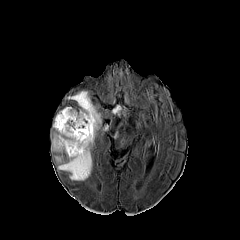
FLAIR MR.
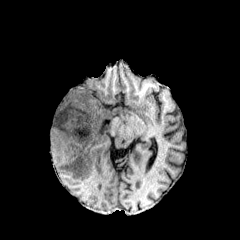
T1-weighted MR.
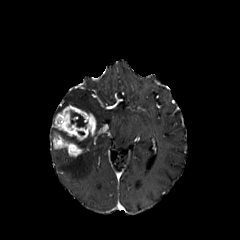
Same slice, post-contrast T1-weighted MR image.
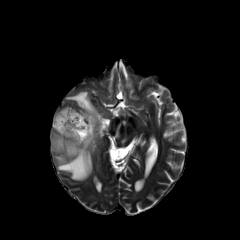
T2-weighted magnetic resonance.
Axial slice; Brain
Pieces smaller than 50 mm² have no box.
The 2 largest necrotic tumor core regions are bounded by 71 111 86 127, 55 129 80 147. 2 enhancing tumor regions appear at 52 132 83 156, 53 105 96 140. The 3 largest peritumoral edema regions are located at 67 91 101 129, 58 152 91 180, 79 135 93 148.